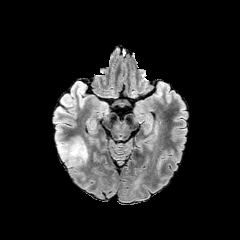
FLAIR MR.
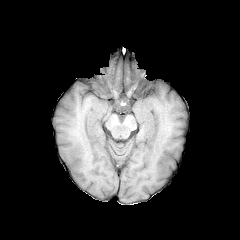
T1-weighted MR.
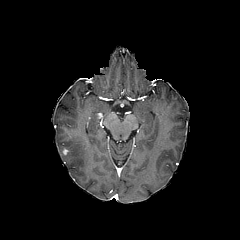
Post-contrast T1-weighted magnetic resonance.
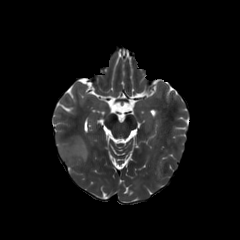
Same slice, T2-weighted MRI.
Axial slice
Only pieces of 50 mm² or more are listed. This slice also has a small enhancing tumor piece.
{
  "peritumoral_edema": [
    "rect(57, 137, 88, 166)"
  ]
}